FLAIR MR.
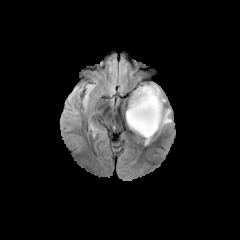
T1-weighted MR image.
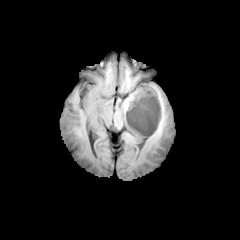
Post-contrast T1-weighted magnetic resonance.
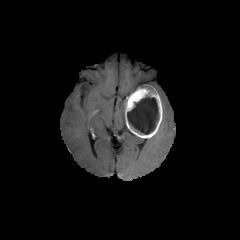
T2-weighted MR image.
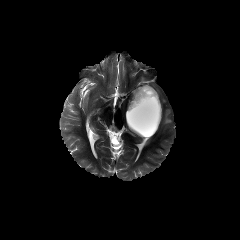
Axial slice | Head
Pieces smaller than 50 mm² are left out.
The 2 largest peritumoral edema regions are located at x1=144, y1=84, x2=165, y2=106; x1=159, y1=109, x2=171, y2=128. The necrotic tumor core appears at x1=127, y1=96, x2=158, y2=134. The enhancing tumor is at x1=125, y1=86, x2=162, y2=138.